Slice 72 of 155, Brain
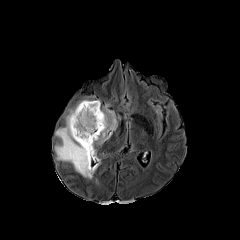
FLAIR MRI.
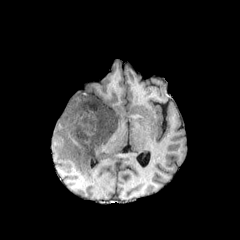
T1-weighted magnetic resonance of the same slice.
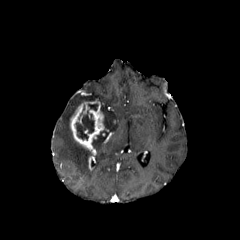
Post-contrast T1-weighted MR image.
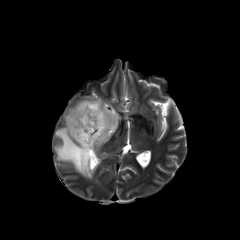
T2-weighted MR image.
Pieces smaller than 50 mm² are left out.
2 peritumoral edema regions are bounded by [54,98,101,179], [92,103,120,147]. The 2 largest necrotic tumor core regions are located at [88,104,97,110], [76,110,94,139]. The largest enhancing tumor region is bounded by [70,100,108,170].